Slice index 45, Head
FLAIR MR image.
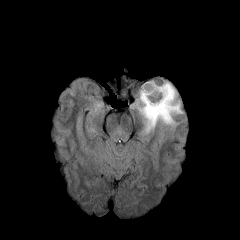
T1-weighted MR.
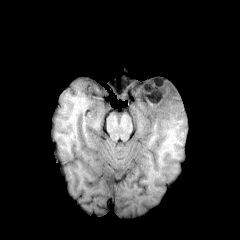
Post-contrast T1-weighted MR.
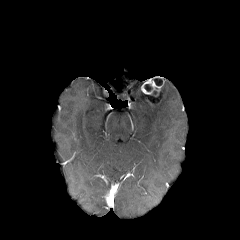
T2-weighted magnetic resonance.
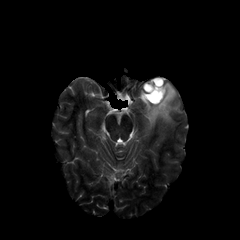
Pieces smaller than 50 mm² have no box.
The largest peritumoral edema region is bounded by <box>133,81,183,134</box>. 2 enhancing tumor regions are located at <box>141,79,162,96</box>, <box>145,81,167,105</box>. The 3 largest necrotic tumor core regions appear at <box>146,92,161,103</box>, <box>144,84,152,91</box>, <box>154,79,163,85</box>.